240x240; Axial slice
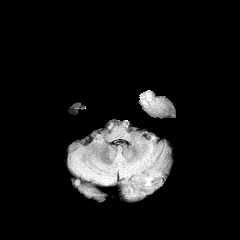
FLAIR MR.
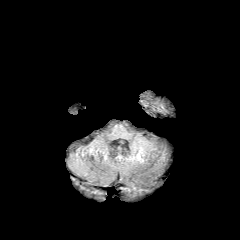
T1-weighted MRI.
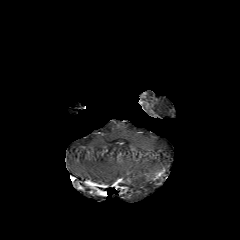
Same slice, post-contrast T1-weighted MR image.
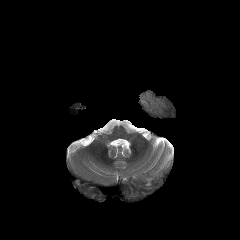
Same slice, T2-weighted MRI.
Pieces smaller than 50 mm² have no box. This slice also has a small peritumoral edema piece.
{"enhancing_tumor": ["(147, 167, 164, 180)"]}